Image width 240 mm, 1.00 mm slice spacing. 240x240. Axial view. Slice 45/155. Brain.
FLAIR MR.
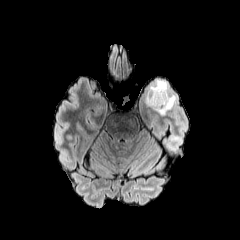
T1-weighted MR.
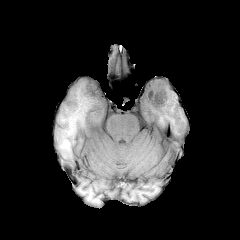
Post-contrast T1-weighted magnetic resonance.
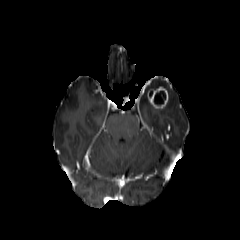
T2-weighted magnetic resonance.
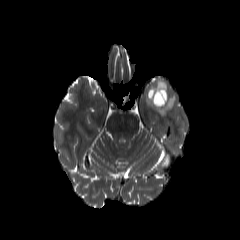
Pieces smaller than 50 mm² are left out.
Annotated regions:
* necrotic tumor core: box=[154, 91, 165, 104]
* enhancing tumor: box=[148, 86, 168, 109]
* peritumoral edema: box=[145, 79, 177, 115]